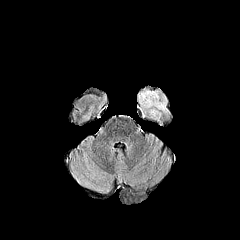
FLAIR MRI.
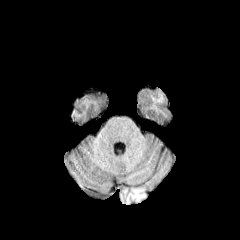
T1-weighted MR.
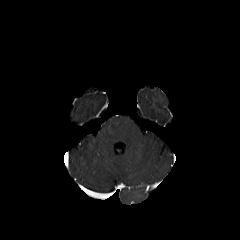
Post-contrast T1-weighted MR image.
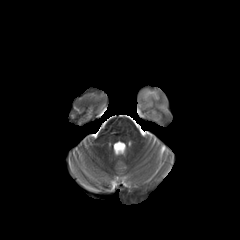
T2-weighted magnetic resonance.
Head, Axial slice
Findings:
* peritumoral edema: 149, 109, 157, 118; 139, 90, 166, 110